FLAIR MRI.
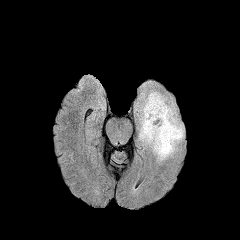
T1-weighted MR image.
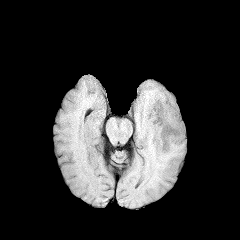
Post-contrast T1-weighted MR.
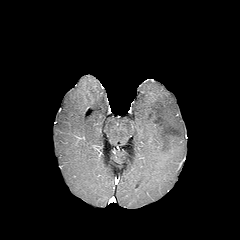
T2-weighted MRI.
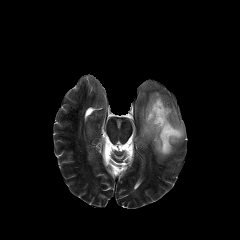
240x240 px | Brain | Axial view
Annotated regions:
• peritumoral edema: <bbox>139, 91, 184, 161</bbox>